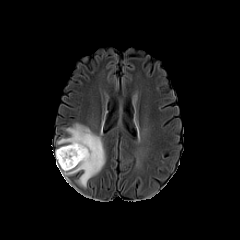
FLAIR magnetic resonance.
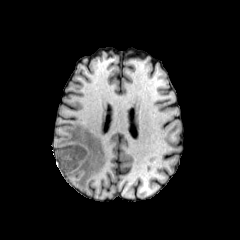
Same slice, T1-weighted MR image.
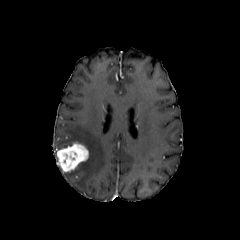
Post-contrast T1-weighted MR image.
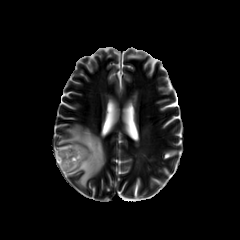
T2-weighted MR.
Brain
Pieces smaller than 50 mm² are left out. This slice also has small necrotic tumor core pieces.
- enhancing tumor: 56:142:88:172
- peritumoral edema: 57:123:105:187